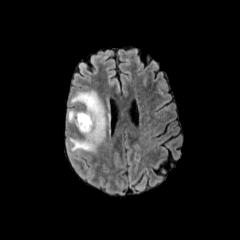
FLAIR MR.
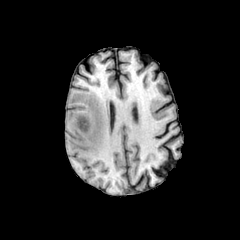
T1-weighted MR.
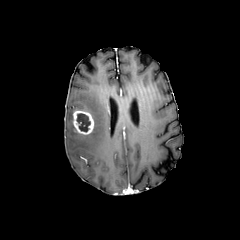
Post-contrast T1-weighted MR.
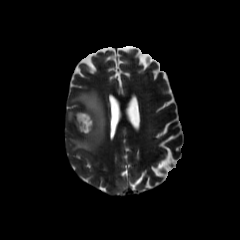
T2-weighted MR.
240x240 px, Axial slice
2 peritumoral edema regions are bounded by bbox(67, 91, 107, 154); bbox(67, 109, 75, 122). The necrotic tumor core is bounded by bbox(76, 113, 90, 131). The enhancing tumor is at bbox(73, 110, 94, 134).